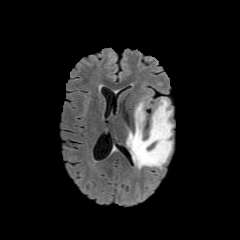
FLAIR MR image.
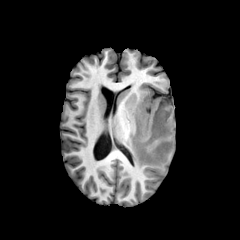
Same slice, T1-weighted magnetic resonance.
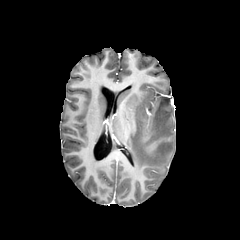
Post-contrast T1-weighted MR of the same slice.
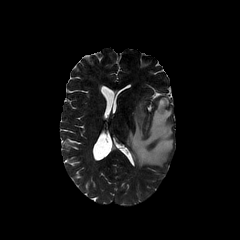
T2-weighted magnetic resonance of the same slice.
Brain. Axial plane.
- peritumoral edema: {"x1": 126, "y1": 98, "x2": 173, "y2": 168}